FLAIR MR.
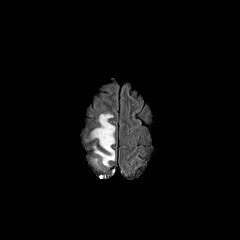
T1-weighted MR image.
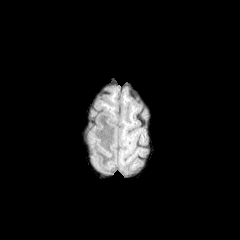
Post-contrast T1-weighted MR.
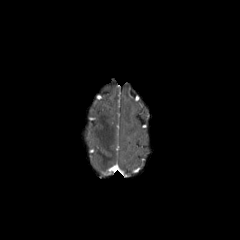
T2-weighted MR.
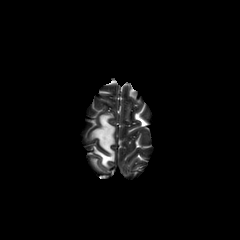
Axial view.
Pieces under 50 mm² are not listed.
- peritumoral edema: 92,113,115,167